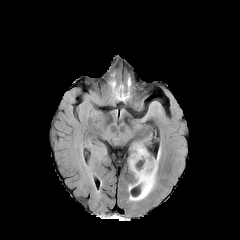
FLAIR MR image.
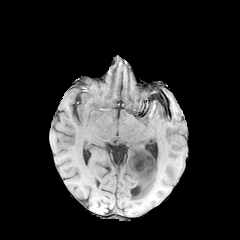
T1-weighted MR image.
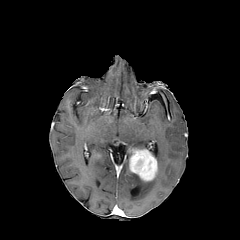
Post-contrast T1-weighted MR.
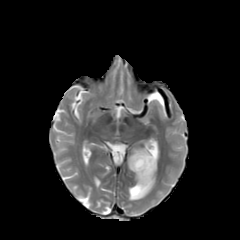
T2-weighted magnetic resonance of the same slice.
Head | Axial slice
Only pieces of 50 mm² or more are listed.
{
  "enhancing_tumor": [
    "127:148:157:181"
  ],
  "peritumoral_edema": [
    "128:174:156:200"
  ]
}